FLAIR magnetic resonance.
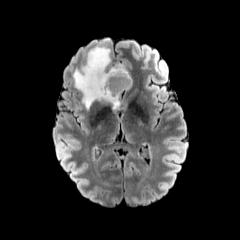
T1-weighted MR.
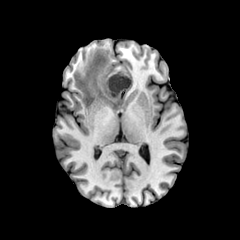
Post-contrast T1-weighted magnetic resonance.
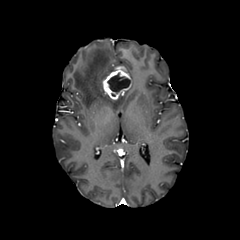
T2-weighted MRI.
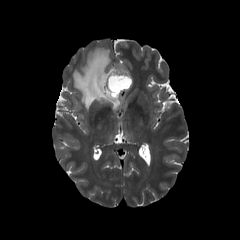
Axial plane. Head. 240x240 px.
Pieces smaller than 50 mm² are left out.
<segmentation>
  <enhancing_tumor>[102,66,131,99]</enhancing_tumor>
  <necrotic_tumor_core>[107,73,130,92]</necrotic_tumor_core>
  <peritumoral_edema>[73,46,120,109]</peritumoral_edema>
</segmentation>